Slice index 70, Image covers 240 mm x 240 mm, Head
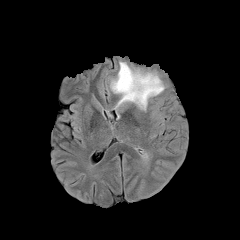
FLAIR MR image.
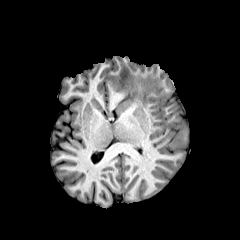
T1-weighted magnetic resonance of the same slice.
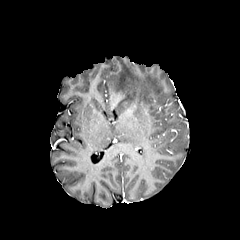
Post-contrast T1-weighted MRI.
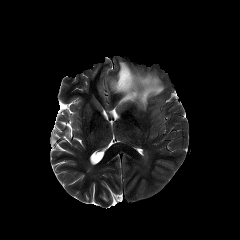
T2-weighted magnetic resonance.
peritumoral edema: region(110, 62, 164, 109)